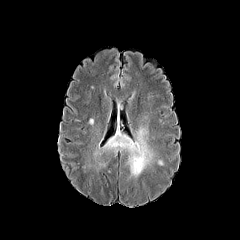
FLAIR MRI.
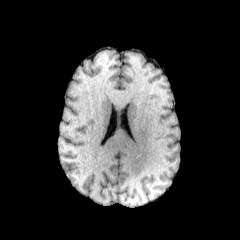
Same slice, T1-weighted MR image.
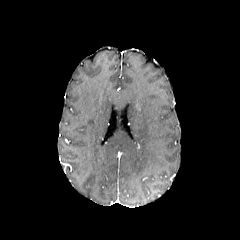
Post-contrast T1-weighted magnetic resonance of the same slice.
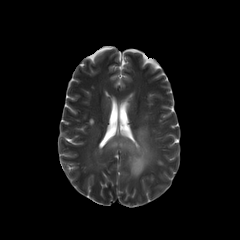
T2-weighted magnetic resonance.
Axial view; Brain
Findings:
* peritumoral edema: x1=84, y1=113, x2=164, y2=179